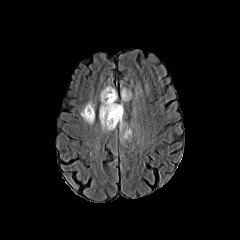
FLAIR MR image.
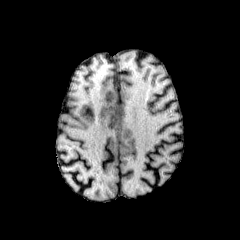
T1-weighted MR image.
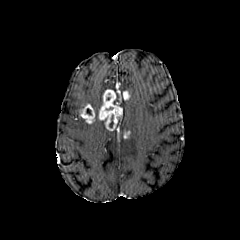
Post-contrast T1-weighted magnetic resonance of the same slice.
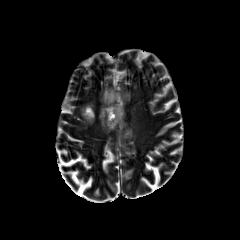
Same slice, T2-weighted MRI.
Axial plane
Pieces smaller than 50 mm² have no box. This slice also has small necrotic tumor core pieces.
peritumoral edema: bounding box 101, 86, 114, 102; 119, 119, 132, 142
enhancing tumor: bounding box 98, 89, 122, 130; 122, 91, 130, 100; 124, 130, 130, 138; 79, 103, 95, 124